Image width 240 mm; Brain; Axial plane
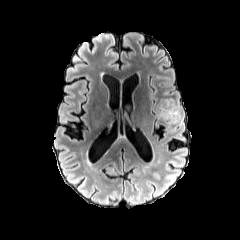
FLAIR MR image.
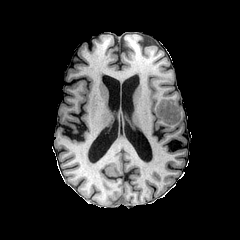
T1-weighted magnetic resonance of the same slice.
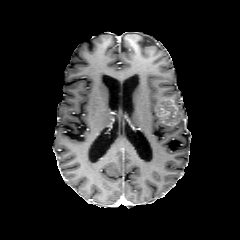
Post-contrast T1-weighted MR of the same slice.
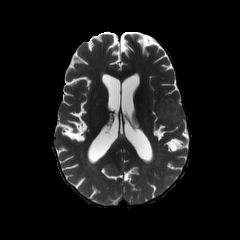
Same slice, T2-weighted MR.
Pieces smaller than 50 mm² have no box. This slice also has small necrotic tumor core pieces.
The enhancing tumor is bounded by [157,98,178,124]. The largest peritumoral edema region is bounded by [175,101,183,124].